FLAIR MR.
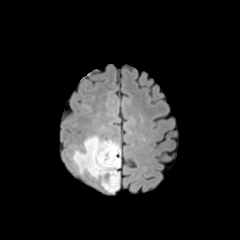
T1-weighted MRI.
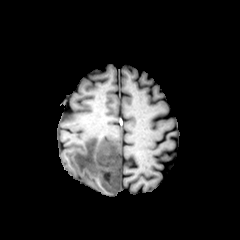
Post-contrast T1-weighted magnetic resonance.
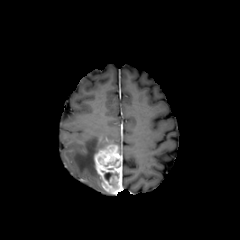
T2-weighted MR image.
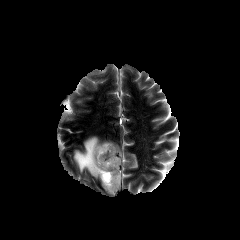
Axial view
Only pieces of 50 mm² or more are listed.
enhancing tumor: [94,143,121,193] | necrotic tumor core: [104,172,117,181] | peritumoral edema: [73,136,117,178]